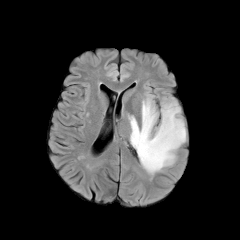
FLAIR magnetic resonance.
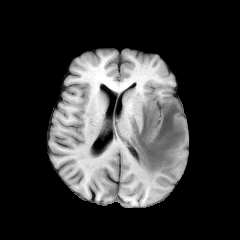
T1-weighted MR.
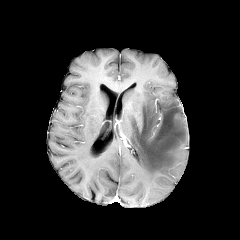
Same slice, post-contrast T1-weighted magnetic resonance.
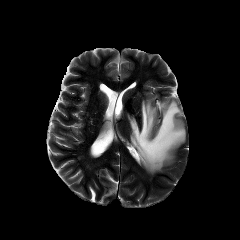
T2-weighted MR.
The peritumoral edema is bounded by <box>128,97,186,174</box>.